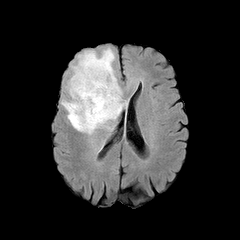
FLAIR MRI.
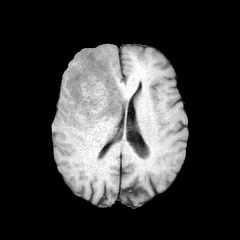
T1-weighted MR.
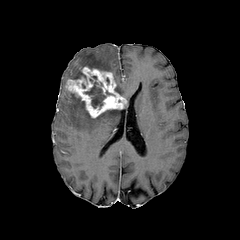
Post-contrast T1-weighted MRI.
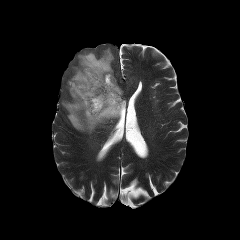
T2-weighted MR image.
Axial slice; 240x240 px
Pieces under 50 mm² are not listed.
enhancing tumor: (left=66, top=67, right=126, bottom=118)
necrotic tumor core: (left=84, top=81, right=105, bottom=108)
peritumoral edema: (left=70, top=48, right=122, bottom=95), (left=61, top=92, right=121, bottom=134)